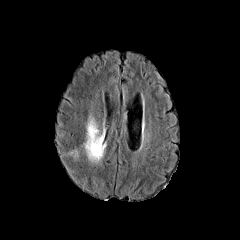
FLAIR MRI.
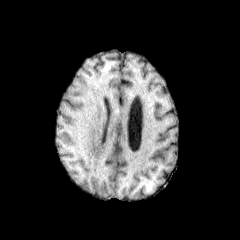
T1-weighted MRI.
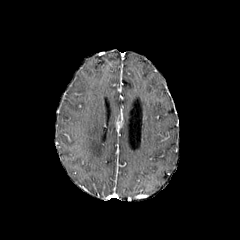
Post-contrast T1-weighted MR image.
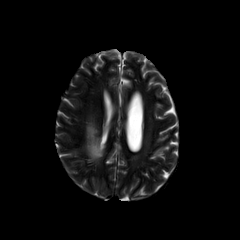
T2-weighted magnetic resonance.
Axial view
Findings:
• peritumoral edema: [x1=85, y1=119, x2=105, y2=160]